Head; 240x240 px
FLAIR MR image.
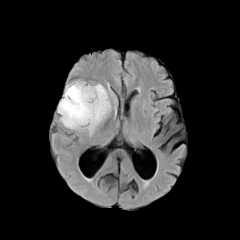
T1-weighted magnetic resonance.
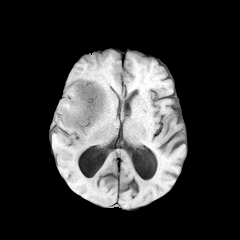
Post-contrast T1-weighted magnetic resonance.
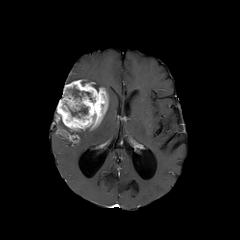
T2-weighted magnetic resonance.
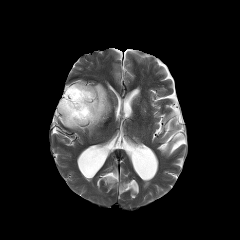
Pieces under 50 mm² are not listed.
Annotated regions:
* peritumoral edema: (x1=102, y1=99, x2=110, y2=121)
* enhancing tumor: (x1=57, y1=80, x2=108, y2=130)
* necrotic tumor core: (x1=71, y1=107, x2=87, y2=115), (x1=70, y1=88, x2=80, y2=97)